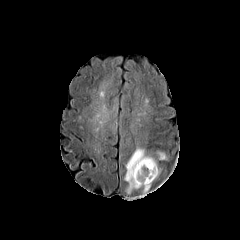
FLAIR magnetic resonance.
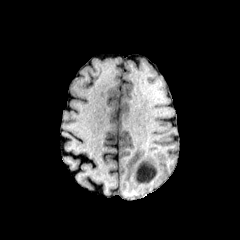
Same slice, T1-weighted MRI.
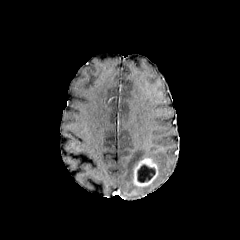
Post-contrast T1-weighted magnetic resonance.
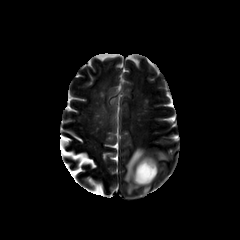
T2-weighted MR image.
240x240, Brain
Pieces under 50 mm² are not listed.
necrotic tumor core: bounding box 137,165,155,182
enhancing tumor: bounding box 133,157,158,186
peritumoral edema: bounding box 124,148,156,193; 157,152,166,159